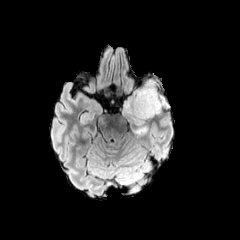
FLAIR MRI.
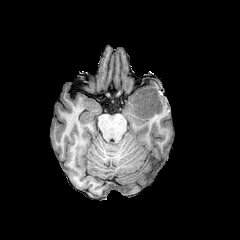
T1-weighted MRI.
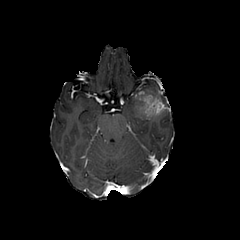
Post-contrast T1-weighted MRI.
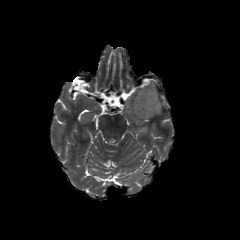
T2-weighted MR image of the same slice.
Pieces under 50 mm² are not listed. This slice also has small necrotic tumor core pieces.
enhancing tumor: bounding box 135,90,167,118
peritumoral edema: bounding box 122,80,159,125; 133,125,149,134